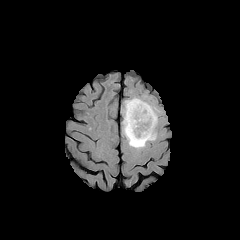
FLAIR MR.
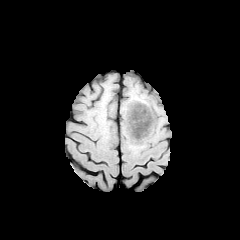
T1-weighted magnetic resonance.
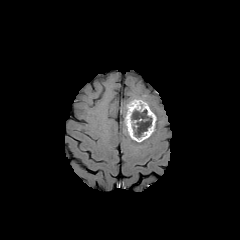
Post-contrast T1-weighted MR.
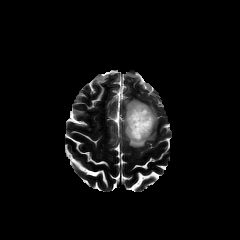
T2-weighted magnetic resonance.
Head
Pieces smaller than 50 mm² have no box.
necrotic tumor core: <bbox>133, 120, 149, 137</bbox>
enhancing tumor: <bbox>125, 99, 156, 142</bbox>
peritumoral edema: <bbox>122, 98, 158, 148</bbox>